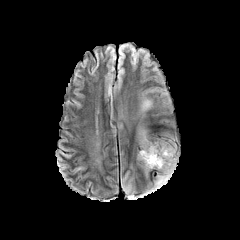
FLAIR MR image.
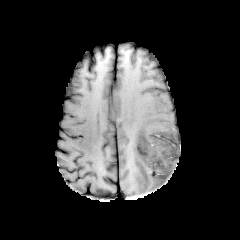
T1-weighted MRI.
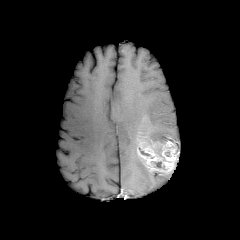
Post-contrast T1-weighted MRI of the same slice.
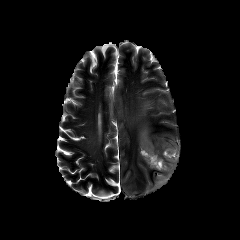
T2-weighted MRI of the same slice.
Axial view; Brain
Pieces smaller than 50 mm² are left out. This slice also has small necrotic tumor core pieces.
Findings:
* enhancing tumor: (left=137, top=137, right=178, bottom=176)
* peritumoral edema: (left=155, top=174, right=171, bottom=187)